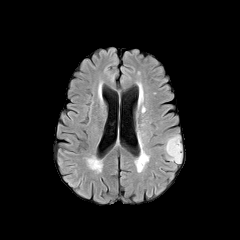
FLAIR MR image.
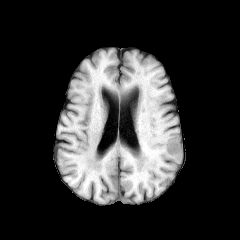
T1-weighted magnetic resonance of the same slice.
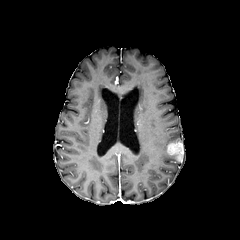
Post-contrast T1-weighted MR image.
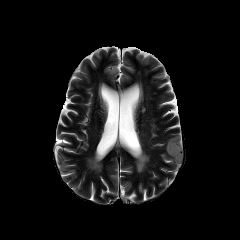
Same slice, T2-weighted MR image.
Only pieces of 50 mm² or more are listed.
peritumoral edema — <box>165,135,182,152</box>, <box>167,153,181,163</box>
enhancing tumor — <box>167,141,183,161</box>